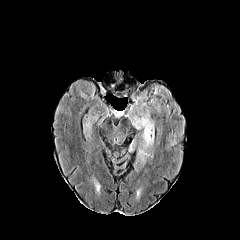
FLAIR MR image.
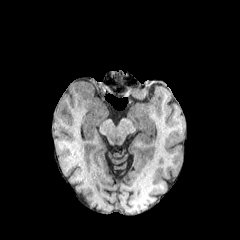
T1-weighted magnetic resonance of the same slice.
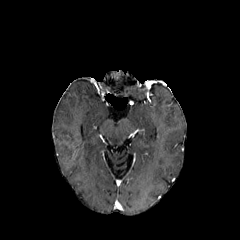
Post-contrast T1-weighted magnetic resonance.
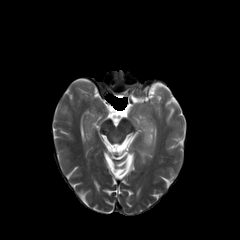
T2-weighted MR image.
peritumoral edema — <box>131,113,154,148</box>, <box>83,118,92,139</box>